Image covers 240 mm x 240 mm, Axial slice, Head
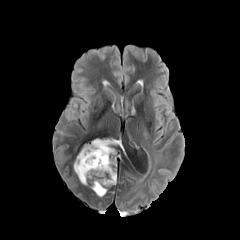
FLAIR magnetic resonance.
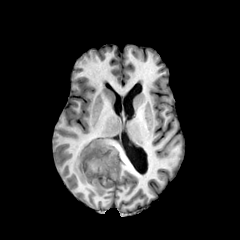
Same slice, T1-weighted MR image.
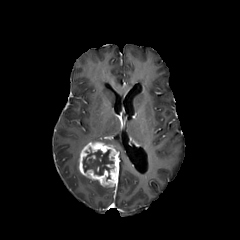
Post-contrast T1-weighted MR image.
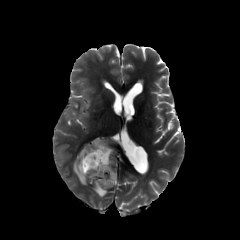
T2-weighted magnetic resonance.
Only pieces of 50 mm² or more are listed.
peritumoral edema at 74:155:86:184, 92:139:120:145, 92:181:106:196
necrotic tumor core at 83:150:113:175
enhancing tumor at 79:142:118:187